240x240 px. Head. Slice 85/155. Image width 240 mm, 1.00 mm slice spacing. Axial plane.
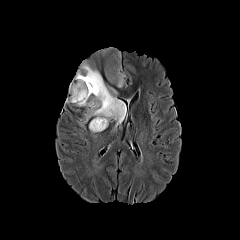
FLAIR magnetic resonance.
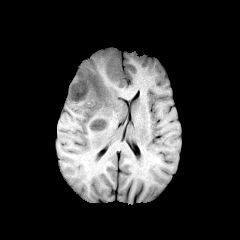
T1-weighted MR.
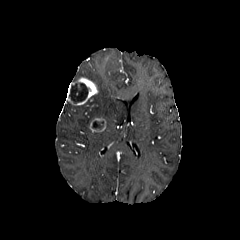
Post-contrast T1-weighted MR.
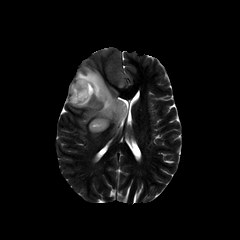
T2-weighted magnetic resonance of the same slice.
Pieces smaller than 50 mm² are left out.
{
  "peritumoral_edema": [
    "<box>74,47,126,129</box>",
    "<box>77,113,89,126</box>"
  ],
  "necrotic_tumor_core": [
    "<box>92,121,103,128</box>",
    "<box>69,83,91,103</box>"
  ],
  "enhancing_tumor": [
    "<box>66,77,98,105</box>",
    "<box>89,118,106,132</box>"
  ]
}